Slice index 58 | Axial plane
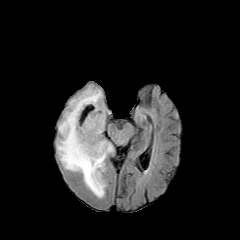
FLAIR MRI.
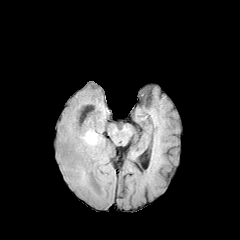
T1-weighted magnetic resonance of the same slice.
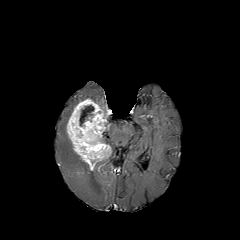
Post-contrast T1-weighted MR.
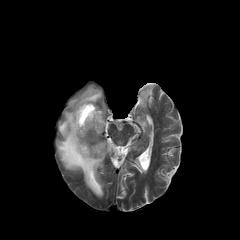
Same slice, T2-weighted MR image.
peritumoral edema: <box>56,85,106,198</box>, <box>100,138,114,153</box> | necrotic tumor core: <box>79,105,94,126</box> | enhancing tumor: <box>66,98,111,170</box>